240x240 px; Head; Slice 92/155
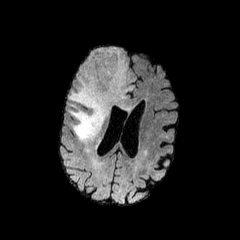
FLAIR MR image.
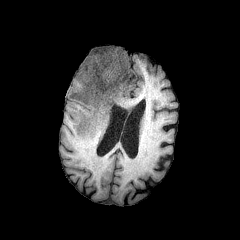
Same slice, T1-weighted MRI.
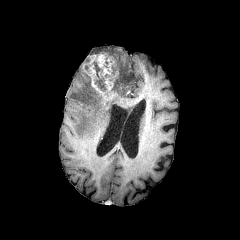
Post-contrast T1-weighted MRI of the same slice.
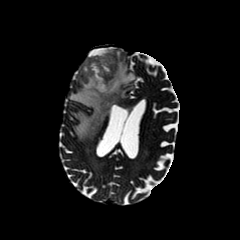
T2-weighted MR.
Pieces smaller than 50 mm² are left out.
Findings:
* enhancing tumor: left=82, top=50, right=119, bottom=107
* necrotic tumor core: left=93, top=61, right=115, bottom=91
* peritumoral edema: left=69, top=47, right=134, bottom=142